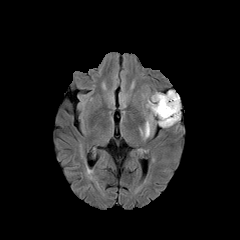
FLAIR magnetic resonance.
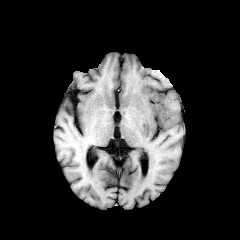
T1-weighted MR image.
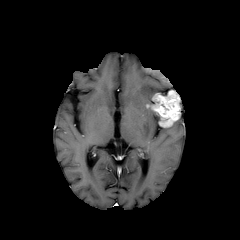
Post-contrast T1-weighted MR image.
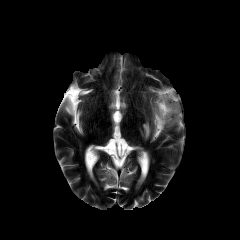
T2-weighted MR image.
Head.
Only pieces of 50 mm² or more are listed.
enhancing tumor at l=147, t=90, r=180, b=127
peritumoral edema at l=144, t=121, r=150, b=138